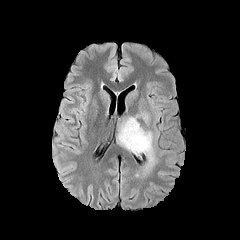
FLAIR MR.
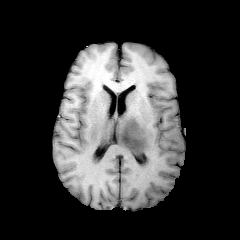
T1-weighted MR image of the same slice.
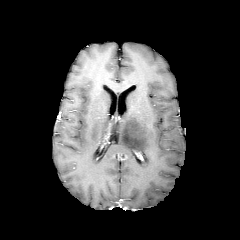
Post-contrast T1-weighted MR image.
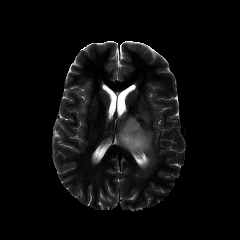
T2-weighted MRI of the same slice.
Axial slice
peritumoral edema — bbox(116, 113, 156, 171)